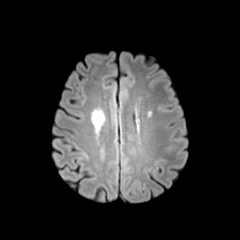
FLAIR magnetic resonance.
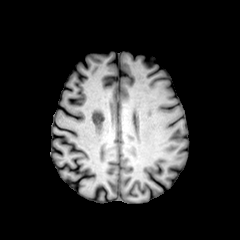
Same slice, T1-weighted magnetic resonance.
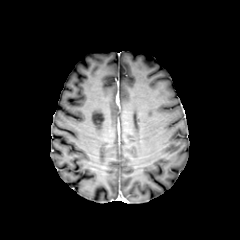
Post-contrast T1-weighted magnetic resonance.
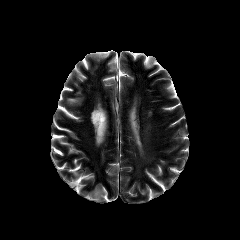
T2-weighted MRI.
Image size 240x240. Brain.
peritumoral edema — {"x1": 92, "y1": 108, "x2": 104, "y2": 132}